FLAIR magnetic resonance.
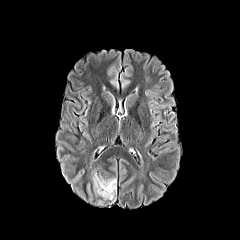
T1-weighted magnetic resonance.
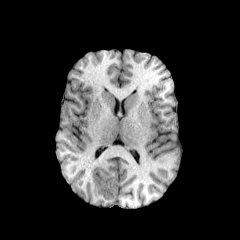
Post-contrast T1-weighted magnetic resonance.
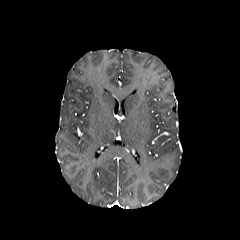
T2-weighted MR.
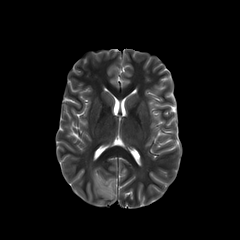
Head.
The peritumoral edema is at (92, 172, 116, 202).